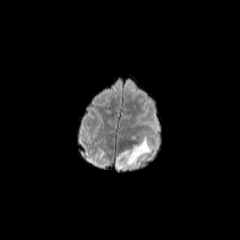
FLAIR MR image.
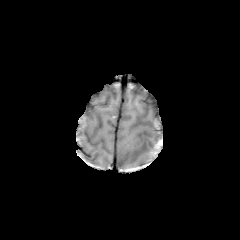
T1-weighted magnetic resonance.
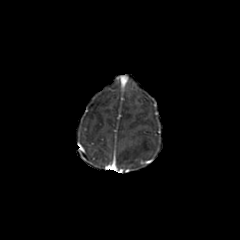
Same slice, post-contrast T1-weighted MR image.
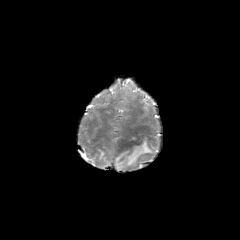
T2-weighted MR of the same slice.
Axial view | Head
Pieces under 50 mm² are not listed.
{
  "peritumoral_edema": [
    "(left=117, top=137, right=151, bottom=167)"
  ]
}